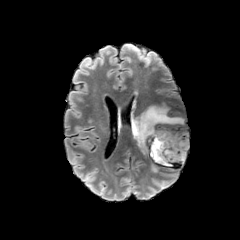
FLAIR MR image.
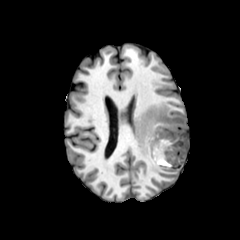
T1-weighted magnetic resonance.
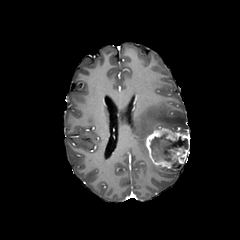
Post-contrast T1-weighted magnetic resonance of the same slice.
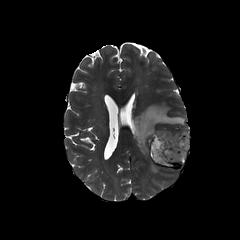
T2-weighted MR image of the same slice.
Axial view.
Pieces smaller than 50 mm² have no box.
The largest necrotic tumor core region is at 150 133 187 165. 2 peritumoral edema regions are located at 130 100 187 155, 150 163 159 171. The largest enhancing tumor region is bounded by 146 126 189 167.